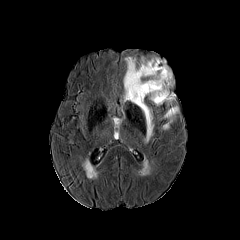
FLAIR MR image.
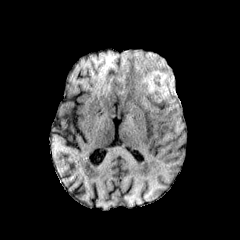
T1-weighted MR of the same slice.
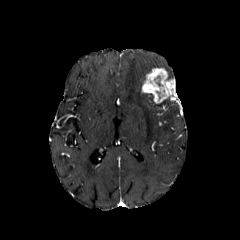
Post-contrast T1-weighted MR.
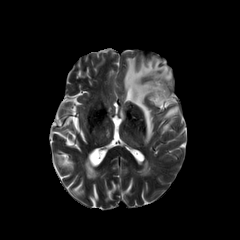
T2-weighted MRI.
Brain.
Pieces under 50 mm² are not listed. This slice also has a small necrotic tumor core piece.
The enhancing tumor lies within l=141, t=68, r=176, b=103. The 2 largest peritumoral edema regions appear at l=123, t=57, r=172, b=142; l=163, t=106, r=178, b=129.